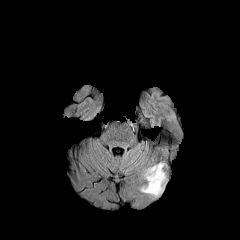
FLAIR MRI.
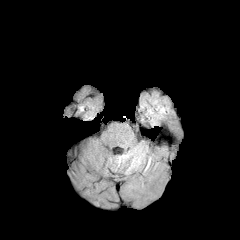
T1-weighted MR of the same slice.
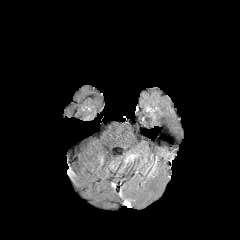
Post-contrast T1-weighted magnetic resonance.
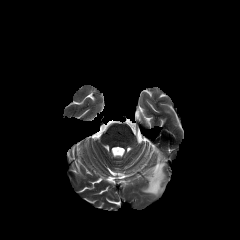
T2-weighted MR image of the same slice.
Head
Findings:
* peritumoral edema: l=141, t=162, r=165, b=196